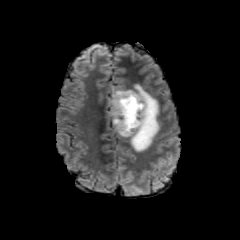
FLAIR MR.
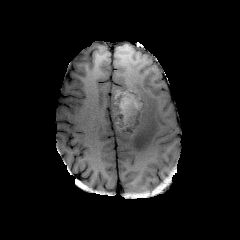
Same slice, T1-weighted MRI.
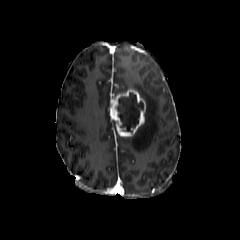
Post-contrast T1-weighted MR image.
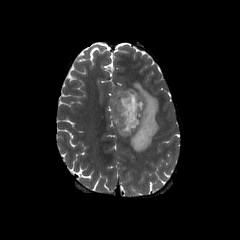
T2-weighted MRI.
Brain.
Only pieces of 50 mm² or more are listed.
The enhancing tumor lies within rect(109, 89, 146, 136). The 2 largest peritumoral edema regions appear at rect(121, 84, 159, 151); rect(113, 88, 129, 94). The necrotic tumor core is bounded by rect(117, 92, 143, 131).